FLAIR magnetic resonance.
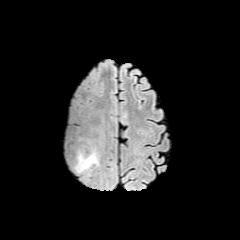
T1-weighted MRI.
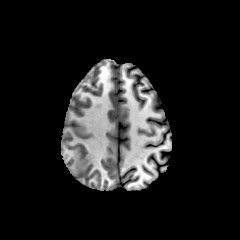
Post-contrast T1-weighted magnetic resonance.
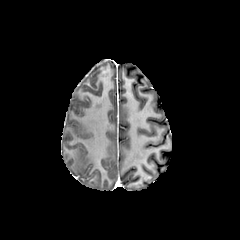
T2-weighted magnetic resonance.
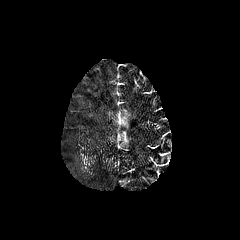
Brain
{"peritumoral_edema": ["rect(76, 148, 100, 171)"]}